FLAIR MR.
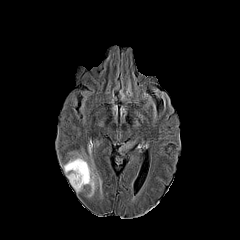
T1-weighted MR.
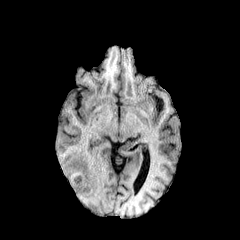
Post-contrast T1-weighted magnetic resonance.
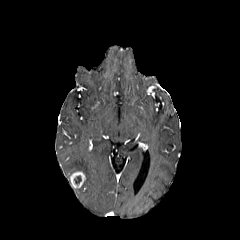
T2-weighted MR image.
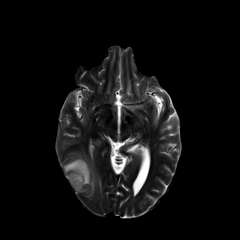
Head
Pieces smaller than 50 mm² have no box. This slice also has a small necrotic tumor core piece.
Segmented structures:
- peritumoral edema: <box>63,152,101,197</box>
- enhancing tumor: <box>69,171,85,188</box>